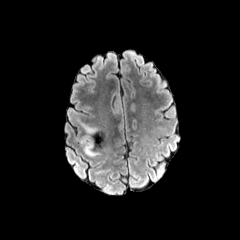
FLAIR magnetic resonance.
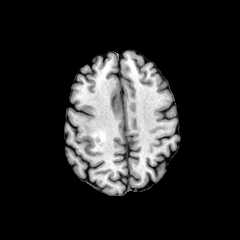
T1-weighted MRI of the same slice.
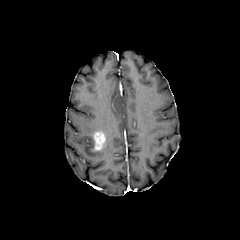
Post-contrast T1-weighted MRI.
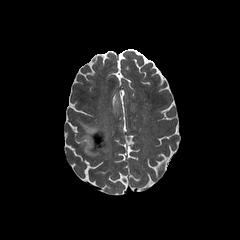
T2-weighted magnetic resonance.
peritumoral_edema:
  - 80 124 97 156
enhancing_tumor:
  - 94 133 105 149